FLAIR MRI.
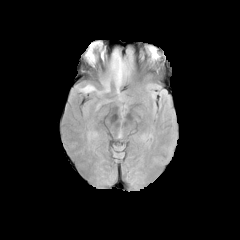
T1-weighted MRI.
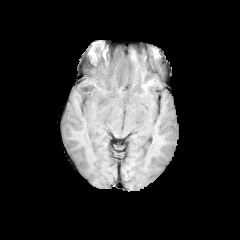
Post-contrast T1-weighted MR.
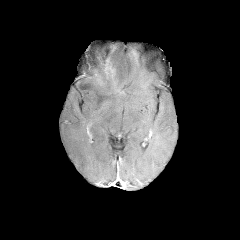
T2-weighted magnetic resonance.
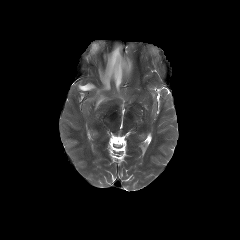
Brain
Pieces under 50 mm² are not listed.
peritumoral edema: [x1=100, y1=46, x2=134, y2=93], [x1=79, y1=84, x2=106, y2=108]
enhancing tumor: [x1=104, y1=57, x2=115, y2=78]